Head
FLAIR MRI.
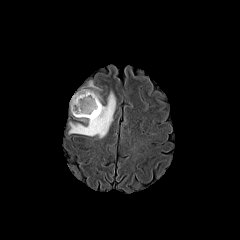
T1-weighted MRI.
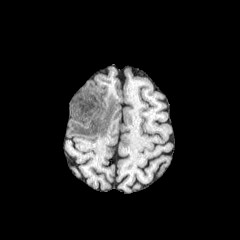
Post-contrast T1-weighted MRI.
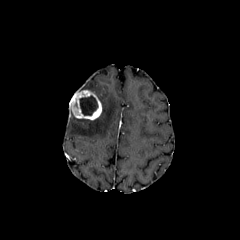
T2-weighted magnetic resonance.
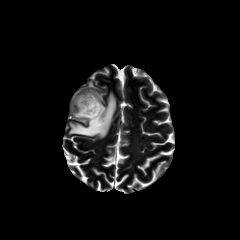
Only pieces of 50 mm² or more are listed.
necrotic tumor core: (79,95,97,115)
enhancing tumor: (70,90,102,120)
peritumoral edema: (82,81,102,102), (68,91,116,138)